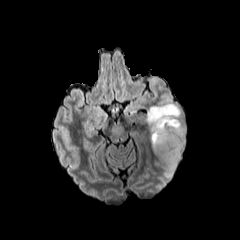
FLAIR magnetic resonance.
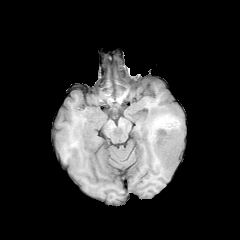
T1-weighted MRI.
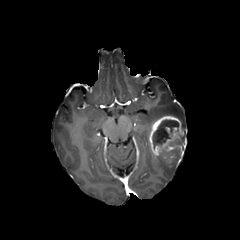
Post-contrast T1-weighted MRI.
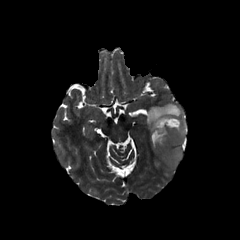
T2-weighted magnetic resonance.
Axial plane. Head.
Annotated regions:
- necrotic tumor core: x1=152, y1=119, x2=178, y2=148
- enhancing tumor: x1=149, y1=115, x2=186, y2=161
- peritumoral edema: x1=159, y1=155, x2=180, y2=177; x1=147, y1=103, x2=185, y2=131